Brain, Slice index 47, Axial slice
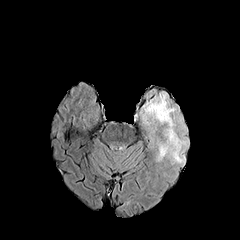
FLAIR magnetic resonance.
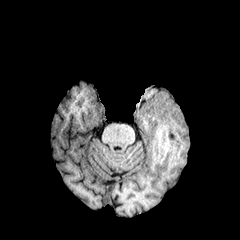
Same slice, T1-weighted magnetic resonance.
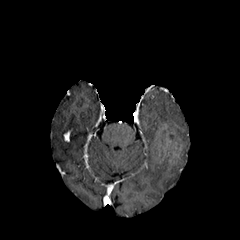
Post-contrast T1-weighted MR image of the same slice.
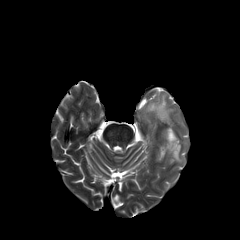
Same slice, T2-weighted magnetic resonance.
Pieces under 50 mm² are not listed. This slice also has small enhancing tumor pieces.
peritumoral edema = <bbox>143, 93, 186, 162</bbox>